Axial slice; 240x240 px; Image width 240 mm, 1.00 mm slice spacing
FLAIR MRI.
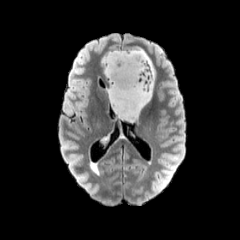
T1-weighted magnetic resonance.
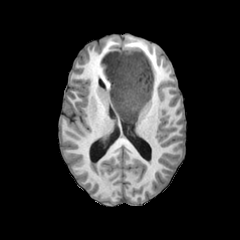
Post-contrast T1-weighted MR.
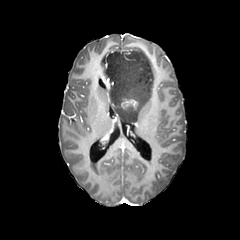
T2-weighted MR.
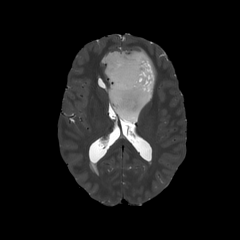
peritumoral edema: x1=102 y1=48 x2=154 y2=122
enhancing tumor: x1=121 y1=99 x2=138 y2=109